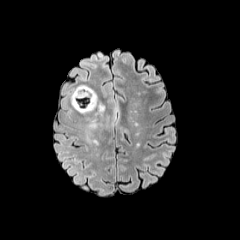
FLAIR MR.
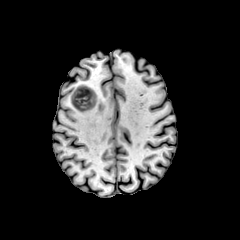
T1-weighted magnetic resonance.
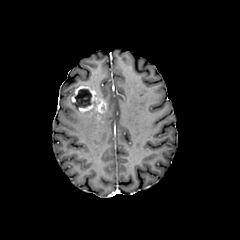
Post-contrast T1-weighted MRI.
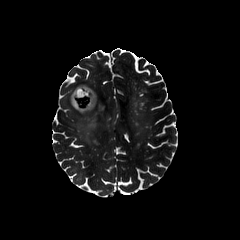
T2-weighted MRI of the same slice.
Axial slice | Brain | Image size 240x240
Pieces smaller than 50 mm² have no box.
<segmentation>
  <enhancing_tumor>{"x1": 71, "y1": 85, "x2": 106, "y2": 113}</enhancing_tumor>
  <peritumoral_edema>{"x1": 69, "y1": 86, "x2": 109, "y2": 144}</peritumoral_edema>
  <necrotic_tumor_core>{"x1": 75, "y1": 89, "x2": 91, "y2": 107}</necrotic_tumor_core>
</segmentation>